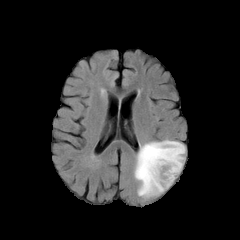
FLAIR MR image.
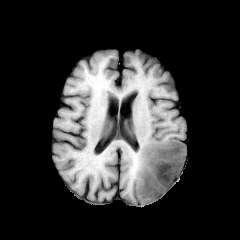
T1-weighted MR image.
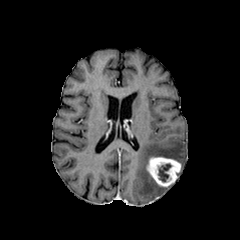
Post-contrast T1-weighted MR.
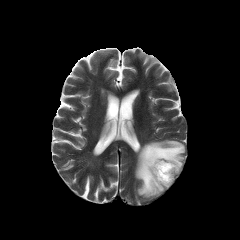
T2-weighted MRI.
Axial plane
{
  "necrotic_tumor_core": [
    "box(158, 164, 171, 181)"
  ],
  "peritumoral_edema": [
    "box(134, 139, 185, 198)"
  ],
  "enhancing_tumor": [
    "box(146, 157, 181, 187)"
  ]
}